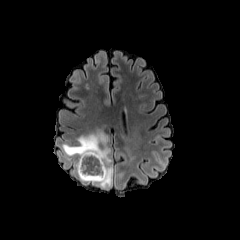
FLAIR magnetic resonance.
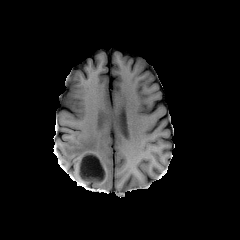
T1-weighted MRI.
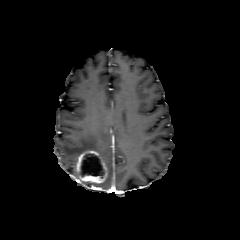
Same slice, post-contrast T1-weighted magnetic resonance.
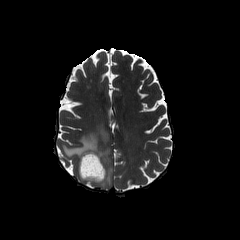
T2-weighted MRI.
Image size 240x240
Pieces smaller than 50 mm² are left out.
enhancing tumor: bounding box 76:150:106:183
peritumoral edema: bounding box 128:147:135:161, 62:131:112:188
necrotic tumor core: bounding box 80:153:104:177